Axial plane; Brain; Slice index 83
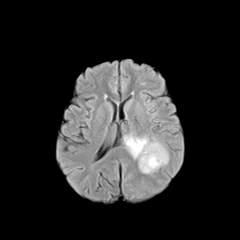
FLAIR MR image.
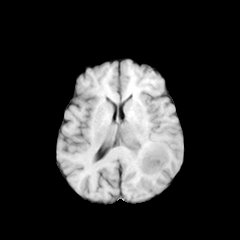
T1-weighted magnetic resonance of the same slice.
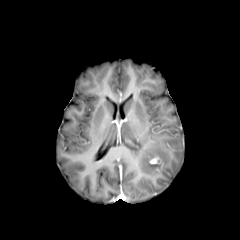
Post-contrast T1-weighted MR.
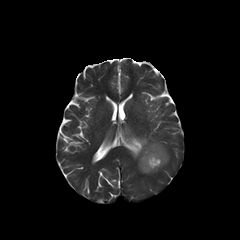
Same slice, T2-weighted MRI.
peritumoral_edema:
  - 123 134 168 173
enhancing_tumor:
  - 149 157 162 164